Axial plane. Slice 99/155.
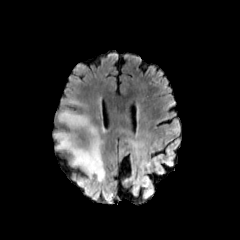
FLAIR MR image.
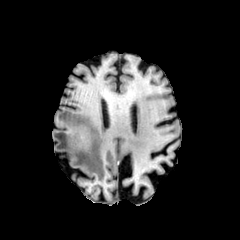
Same slice, T1-weighted MR image.
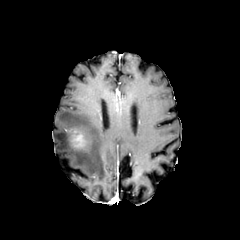
Same slice, post-contrast T1-weighted magnetic resonance.
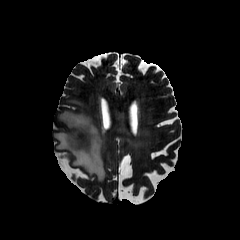
T2-weighted magnetic resonance.
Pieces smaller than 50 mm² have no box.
enhancing tumor = box(69, 129, 84, 148)
peritumoral edema = box(53, 109, 105, 201); box(69, 99, 82, 105)